Axial view | Slice index 72
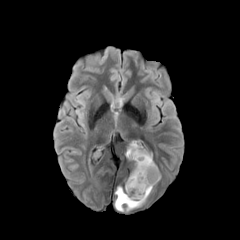
FLAIR MRI.
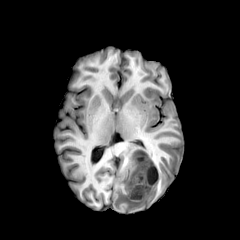
T1-weighted magnetic resonance of the same slice.
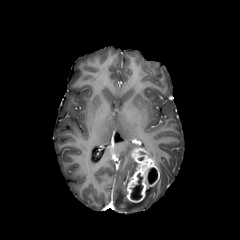
Same slice, post-contrast T1-weighted MRI.
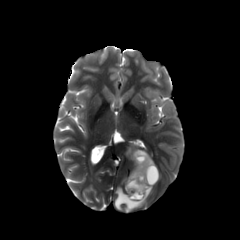
T2-weighted MR image.
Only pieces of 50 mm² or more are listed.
The 2 largest necrotic tumor core regions are bounded by 148:167:157:184, 131:173:142:200. The enhancing tumor is bounded by 126:148:159:202. The 2 largest peritumoral edema regions appear at 125:144:134:159, 114:186:152:211.